FLAIR magnetic resonance.
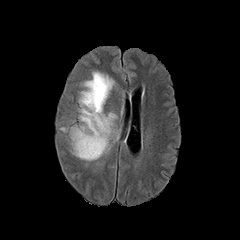
T1-weighted MRI.
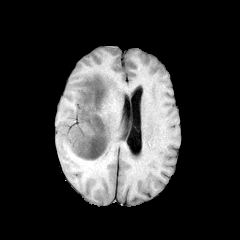
Post-contrast T1-weighted MR image.
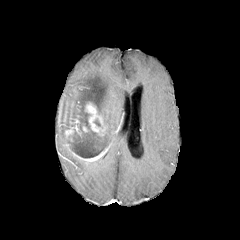
T2-weighted MR image.
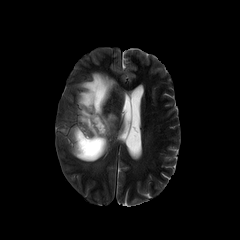
Head
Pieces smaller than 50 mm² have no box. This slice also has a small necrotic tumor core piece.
peritumoral edema: bounding box l=67, t=135, r=75, b=155; l=77, t=71, r=119, b=154
enhancing tumor: bounding box l=66, t=102, r=107, b=161